FLAIR MR image.
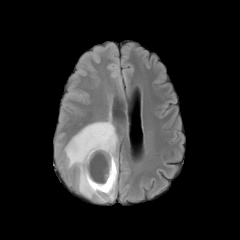
T1-weighted MRI.
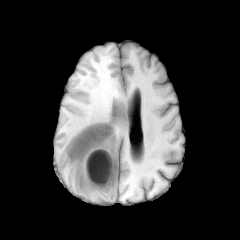
Post-contrast T1-weighted MR image.
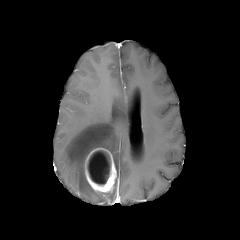
T2-weighted MR.
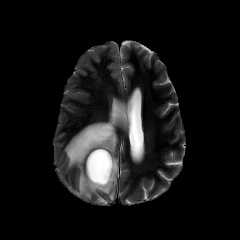
Axial plane.
• necrotic tumor core: x1=87 y1=150 x2=110 y2=184
• peritumoral edema: x1=65 y1=118 x2=118 y2=201
• enhancing tumor: x1=85 y1=148 x2=116 y2=192